Axial plane, 240x240 px
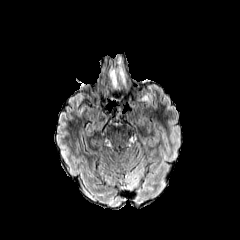
FLAIR magnetic resonance.
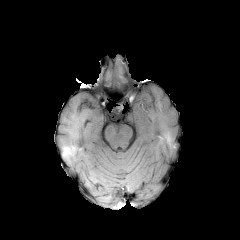
T1-weighted magnetic resonance of the same slice.
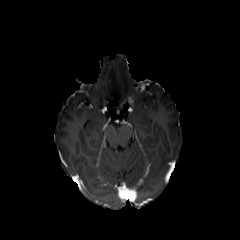
Post-contrast T1-weighted MR image of the same slice.
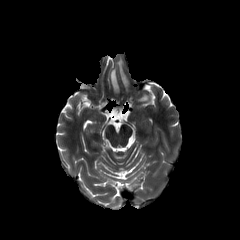
T2-weighted MR image of the same slice.
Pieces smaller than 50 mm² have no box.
The largest peritumoral edema region is at 110 70 117 88.